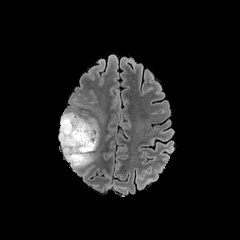
FLAIR MR image.
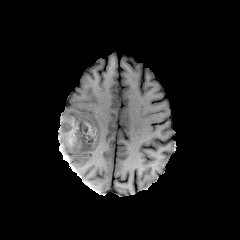
T1-weighted MRI of the same slice.
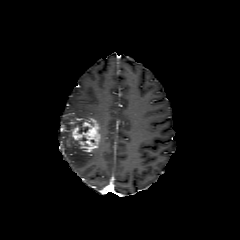
Post-contrast T1-weighted MRI.
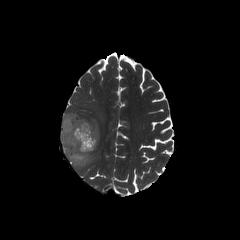
Same slice, T2-weighted MR image.
Head. Axial view.
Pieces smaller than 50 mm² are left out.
The 2 largest peritumoral edema regions are located at bbox=[59, 126, 94, 167]; bbox=[60, 112, 81, 129]. The enhancing tumor lies within bbox=[61, 118, 100, 152]. The largest necrotic tumor core region appears at bbox=[78, 126, 88, 133].